Brain | Axial view | Image covers 240 mm x 240 mm
FLAIR magnetic resonance.
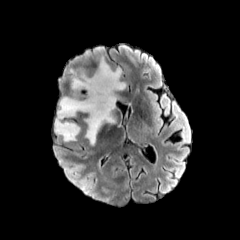
T1-weighted MR image.
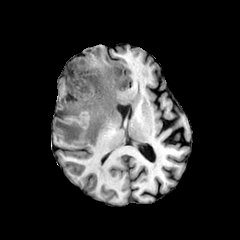
Post-contrast T1-weighted MR.
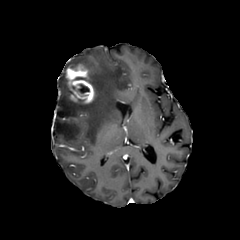
T2-weighted MR image.
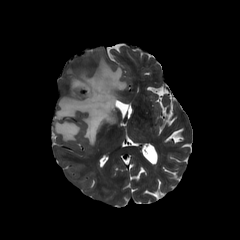
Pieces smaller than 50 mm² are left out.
enhancing_tumor:
  - [66, 65, 95, 103]
peritumoral_edema:
  - [55, 57, 126, 145]
necrotic_tumor_core:
  - [78, 84, 89, 93]